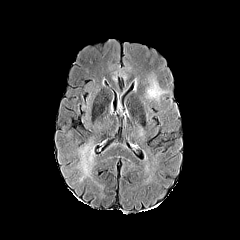
FLAIR MR.
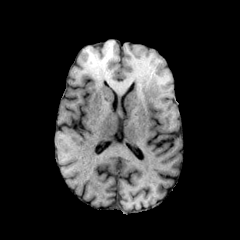
T1-weighted MRI.
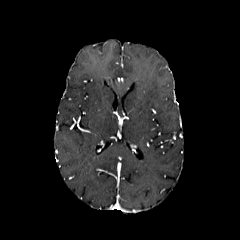
Post-contrast T1-weighted MRI.
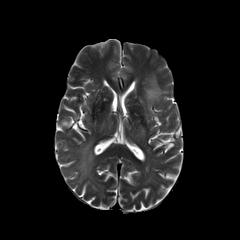
T2-weighted MRI of the same slice.
Brain | 240x240 px
peritumoral_edema:
  - box(147, 79, 163, 99)